FLAIR MRI.
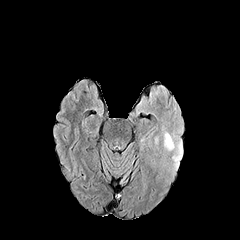
T1-weighted MRI.
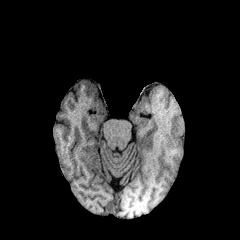
Post-contrast T1-weighted MR image.
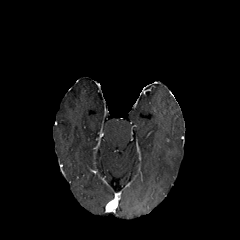
T2-weighted magnetic resonance.
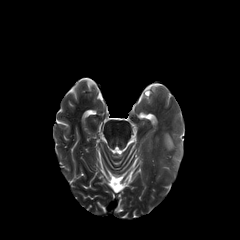
240x240
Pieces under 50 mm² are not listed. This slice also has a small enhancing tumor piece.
<segmentation>
  <peritumoral_edema>(164, 132, 174, 150), (174, 142, 182, 166)</peritumoral_edema>
</segmentation>